FLAIR MRI.
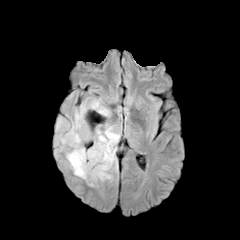
T1-weighted magnetic resonance.
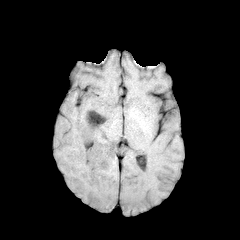
Post-contrast T1-weighted MR image.
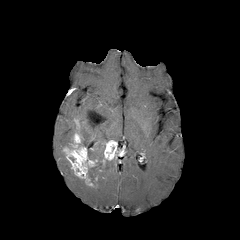
T2-weighted MR.
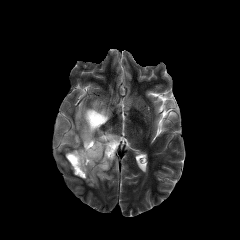
Axial slice
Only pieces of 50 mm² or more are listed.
The 2 largest enhancing tumor regions appear at x1=101, y1=140, x2=117, y2=165; x1=63, y1=132, x2=99, y2=186. The largest necrotic tumor core region is at x1=88, y1=162, x2=103, y2=183. The 2 largest peritumoral edema regions appear at x1=94, y1=157, x2=118, y2=181; x1=55, y1=99, x2=121, y2=161.